FLAIR MRI.
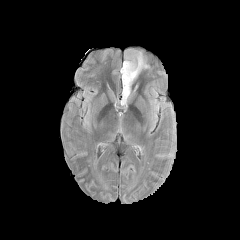
T1-weighted MR.
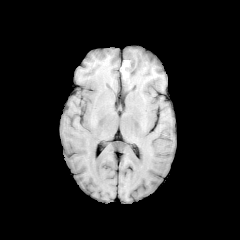
Post-contrast T1-weighted magnetic resonance.
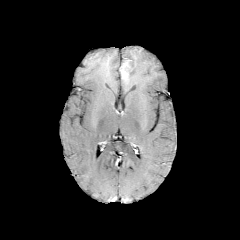
T2-weighted magnetic resonance.
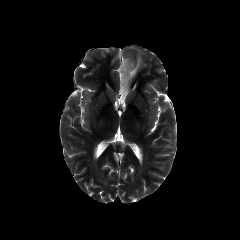
240x240 px; Brain
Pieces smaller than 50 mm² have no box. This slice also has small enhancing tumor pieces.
peritumoral edema: bounding box 122 53 147 98
necrotic tumor core: bounding box 122 63 131 76